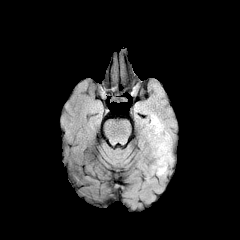
FLAIR magnetic resonance.
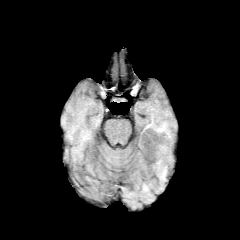
T1-weighted magnetic resonance.
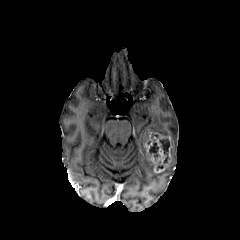
Same slice, post-contrast T1-weighted MR image.
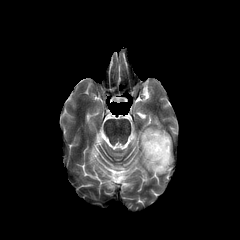
T2-weighted MR.
Image size 240x240.
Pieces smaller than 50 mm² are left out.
{
  "necrotic_tumor_core": [
    {"x1": 160, "y1": 139, "x2": 169, "y2": 163},
    {"x1": 149, "y1": 142, "x2": 158, "y2": 157}
  ],
  "enhancing_tumor": [
    {"x1": 143, "y1": 131, "x2": 172, "y2": 173}
  ],
  "peritumoral_edema": [
    {"x1": 140, "y1": 114, "x2": 173, "y2": 174}
  ]
}